Axial slice; Slice index 60; Brain; 240x240 px
FLAIR MR image.
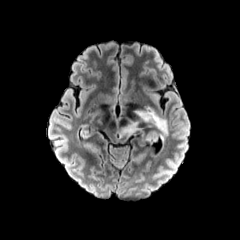
T1-weighted MR.
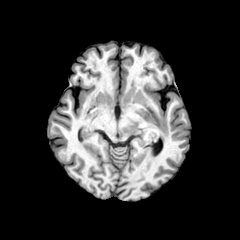
Post-contrast T1-weighted MR image.
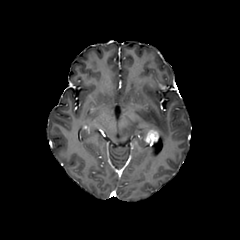
T2-weighted magnetic resonance.
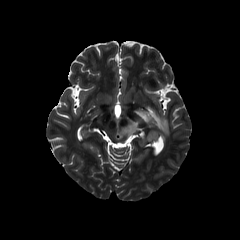
enhancing tumor at bbox=[145, 130, 158, 144]
peritumoral edema at bbox=[119, 106, 168, 140]